FLAIR MR.
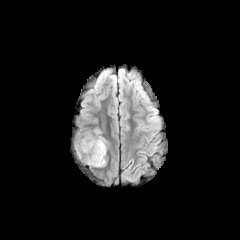
T1-weighted MRI.
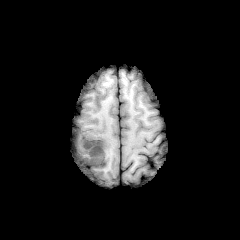
Post-contrast T1-weighted MR.
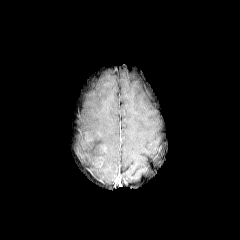
T2-weighted MRI.
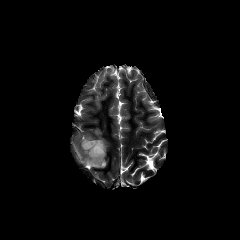
Head; Image size 240x240
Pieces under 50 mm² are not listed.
The largest peritumoral edema region is bounded by [81,134,106,167]. 3 enhancing tumor regions appear at [82,137,93,149], [95,144,105,152], [90,157,103,166].